FLAIR MR image.
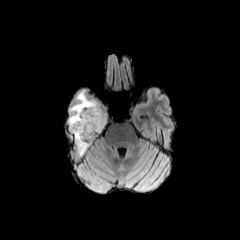
T1-weighted MR.
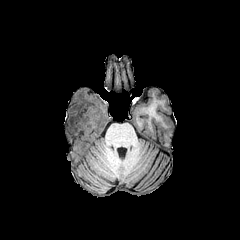
Post-contrast T1-weighted MR image.
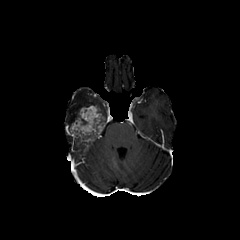
T2-weighted MR image.
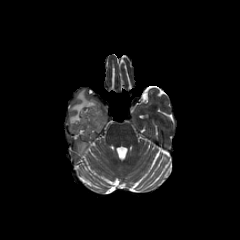
Head | Axial view | Image size 240x240
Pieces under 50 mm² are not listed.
necrotic tumor core: [x1=93, y1=118, x2=104, y2=127] | peritumoral edema: [x1=68, y1=89, x2=100, y2=131] | enhancing tumor: [x1=70, y1=105, x2=106, y2=154]